FLAIR MR.
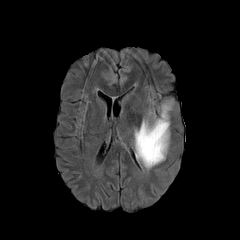
T1-weighted MR image.
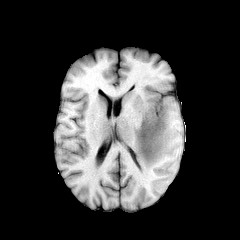
Post-contrast T1-weighted MR.
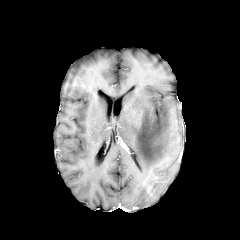
T2-weighted MR.
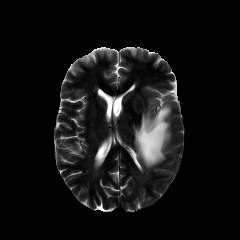
Axial slice.
The peritumoral edema is located at (134, 101, 171, 169).